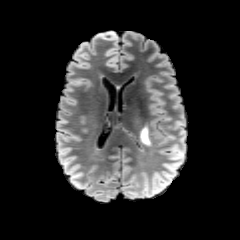
FLAIR MR image.
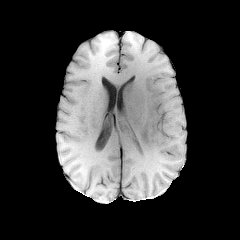
Same slice, T1-weighted magnetic resonance.
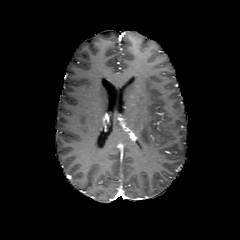
Same slice, post-contrast T1-weighted MR.
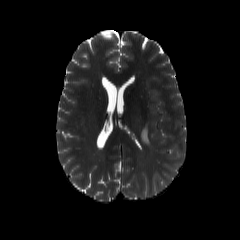
Same slice, T2-weighted MRI.
240x240. Head. Axial slice.
The peritumoral edema is bounded by bbox(140, 127, 150, 145).